240x240, Axial view
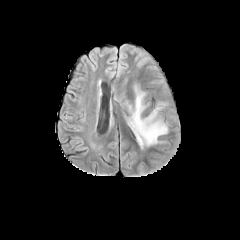
FLAIR MR.
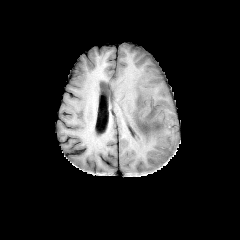
T1-weighted MR image.
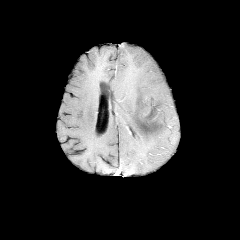
Post-contrast T1-weighted MR.
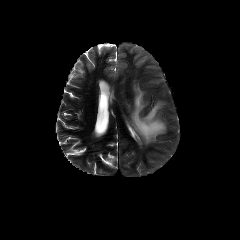
T2-weighted MRI.
Segmented structures:
- peritumoral edema: x1=127 y1=85 x2=167 y2=147